Image size 240x240, Brain, Slice index 118
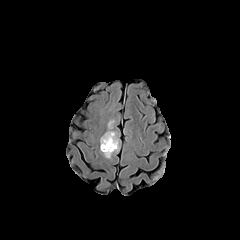
FLAIR MR.
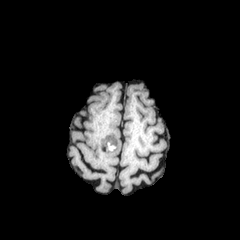
T1-weighted magnetic resonance.
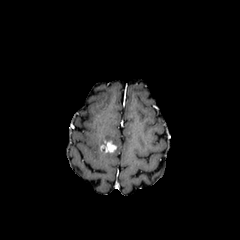
Post-contrast T1-weighted magnetic resonance.
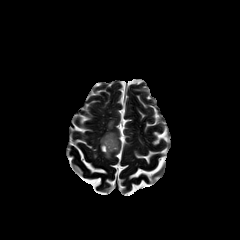
T2-weighted MR.
peritumoral edema: bounding box (100,121,120,158)
enhancing tumor: bounding box (100,140,116,152)